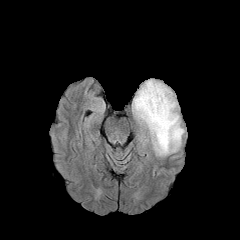
FLAIR MR.
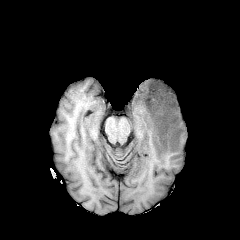
T1-weighted MR of the same slice.
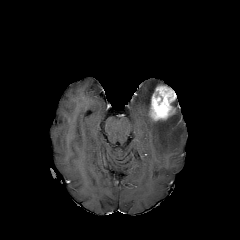
Post-contrast T1-weighted MR.
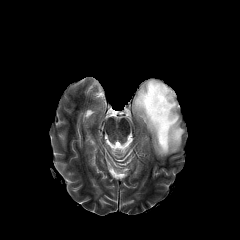
Same slice, T2-weighted magnetic resonance.
Brain | Axial slice | Image size 240x240
Annotated regions:
- peritumoral edema: [132, 79, 184, 156]
- enhancing tumor: [148, 84, 176, 121]